FLAIR magnetic resonance.
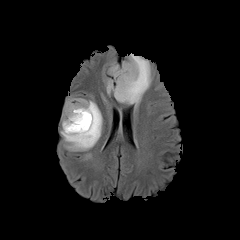
T1-weighted MR.
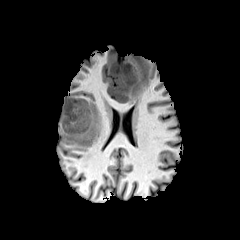
Post-contrast T1-weighted MRI.
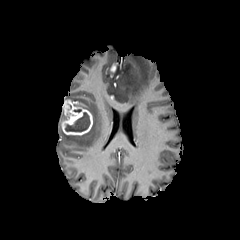
T2-weighted MRI.
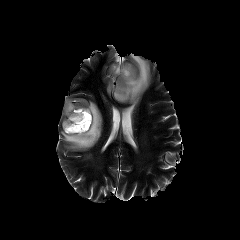
240x240 | Brain | Axial slice
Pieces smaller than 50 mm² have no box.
{
  "peritumoral_edema": [
    "bbox(60, 98, 102, 151)",
    "bbox(105, 53, 151, 106)"
  ],
  "enhancing_tumor": [
    "bbox(62, 99, 92, 135)"
  ],
  "necrotic_tumor_core": [
    "bbox(65, 112, 90, 131)"
  ]
}